Axial slice
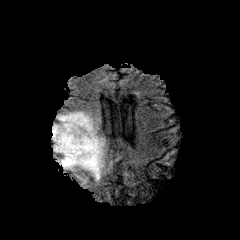
FLAIR MR.
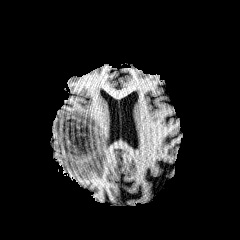
T1-weighted MR image of the same slice.
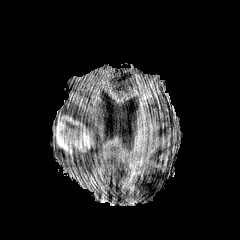
Post-contrast T1-weighted MR.
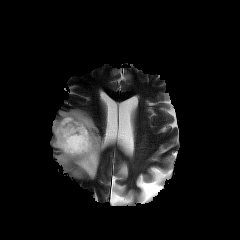
T2-weighted MR image.
necrotic tumor core: bounding box bbox=[65, 121, 74, 129]
enhancing tumor: bounding box bbox=[54, 115, 94, 160]
peritumoral edema: bounding box bbox=[52, 110, 100, 182]